Slice index 47
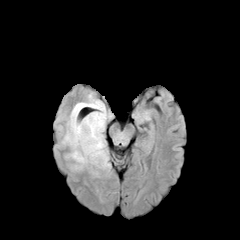
FLAIR MR.
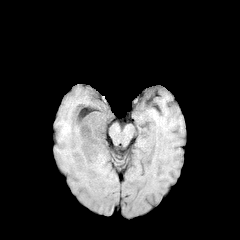
T1-weighted MR.
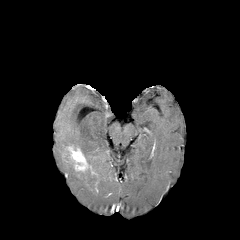
Same slice, post-contrast T1-weighted MRI.
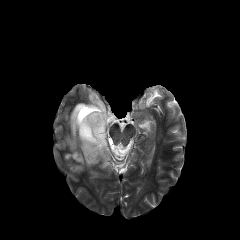
T2-weighted MR of the same slice.
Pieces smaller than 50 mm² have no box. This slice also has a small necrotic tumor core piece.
peritumoral edema — bbox(62, 92, 113, 175); bbox(65, 151, 83, 171)
enhancing tumor — bbox(68, 146, 89, 170)